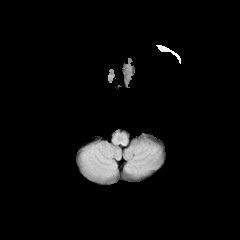
FLAIR MR image.
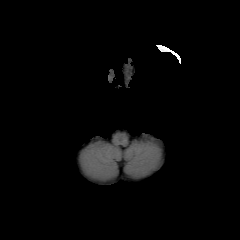
Same slice, T1-weighted MRI.
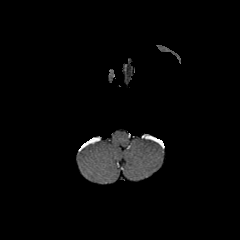
Same slice, post-contrast T1-weighted magnetic resonance.
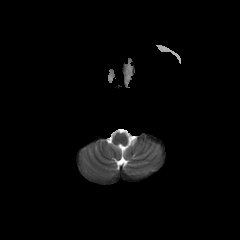
T2-weighted MR image of the same slice.
Axial plane, Head
• peritumoral edema: rect(108, 70, 114, 82)